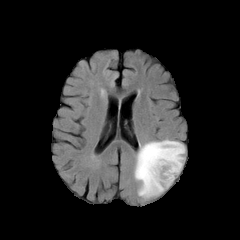
FLAIR MR.
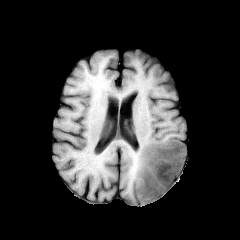
T1-weighted MR image.
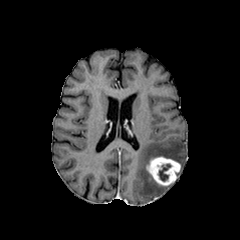
Post-contrast T1-weighted magnetic resonance of the same slice.
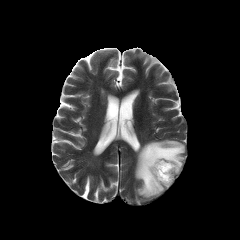
Same slice, T2-weighted MRI.
240x240 px
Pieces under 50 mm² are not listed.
The enhancing tumor is located at (146, 156, 180, 186). The largest peritumoral edema region is at (134, 139, 185, 199). The necrotic tumor core lies within (159, 164, 170, 180).